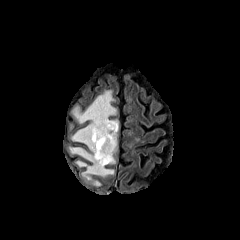
FLAIR magnetic resonance.
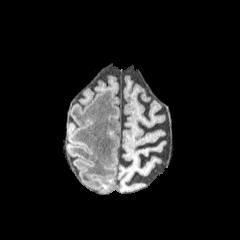
Same slice, T1-weighted MR image.
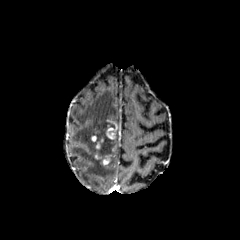
Post-contrast T1-weighted MRI.
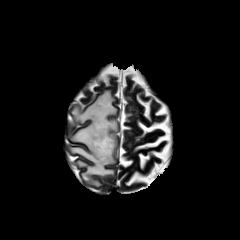
Same slice, T2-weighted MRI.
Axial plane, Brain, 240x240 px
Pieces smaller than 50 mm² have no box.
peritumoral edema = (69,90,116,186), (101,135,117,164)
enhancing tumor = (105,119,118,141), (94,137,110,164)
necrotic tumor core = (96,122,114,147)